FLAIR MR image.
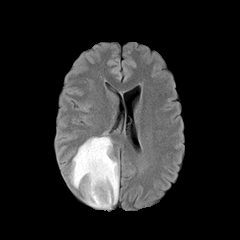
T1-weighted MRI.
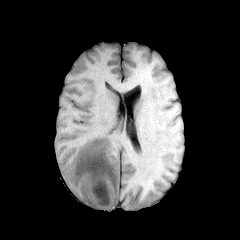
Post-contrast T1-weighted MRI.
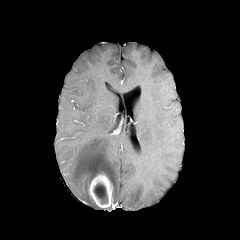
T2-weighted MR.
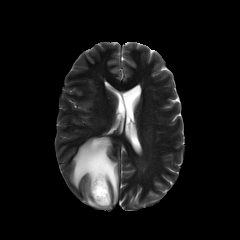
Head, 240x240
<segmentation>
  <peritumoral_edema>[69,135,118,208]</peritumoral_edema>
  <enhancing_tumor>[88,174,113,207]</enhancing_tumor>
  <necrotic_tumor_core>[93,183,107,204]</necrotic_tumor_core>
</segmentation>